FLAIR MRI.
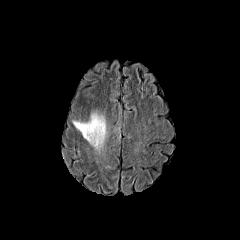
T1-weighted MRI.
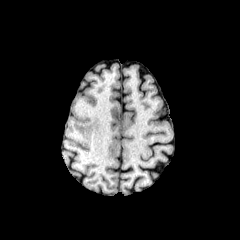
Post-contrast T1-weighted MR image.
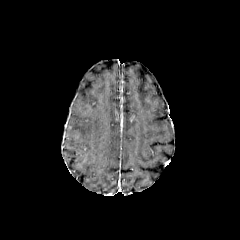
T2-weighted MRI.
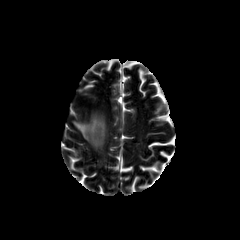
Axial plane. Brain.
peritumoral edema: 73, 113, 106, 149